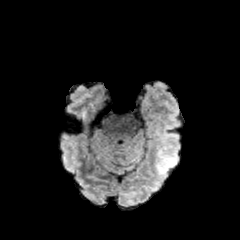
FLAIR magnetic resonance.
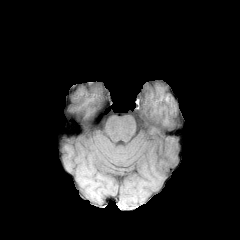
Same slice, T1-weighted MRI.
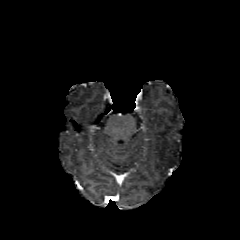
Post-contrast T1-weighted magnetic resonance.
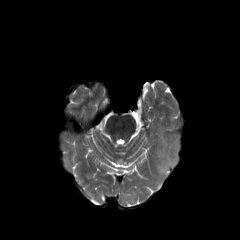
T2-weighted MR image.
Axial plane, Brain
peritumoral edema: bounding box box=[155, 135, 180, 176]